Brain. 240x240 px.
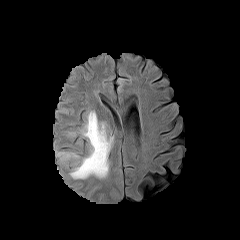
FLAIR magnetic resonance.
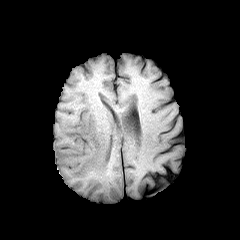
T1-weighted magnetic resonance of the same slice.
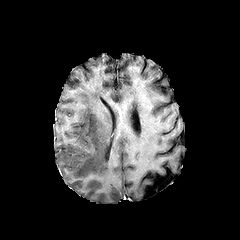
Same slice, post-contrast T1-weighted MR.
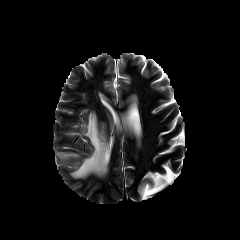
T2-weighted MRI.
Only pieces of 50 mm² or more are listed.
peritumoral edema at box=[70, 111, 113, 178]; box=[55, 151, 79, 161]